FLAIR magnetic resonance.
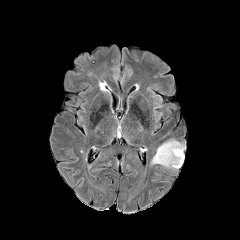
T1-weighted MRI.
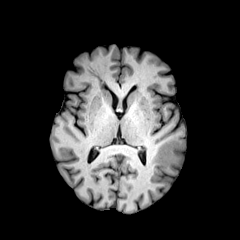
Post-contrast T1-weighted MR.
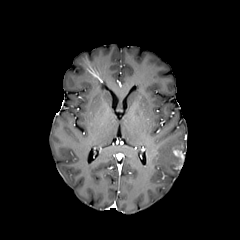
T2-weighted MR.
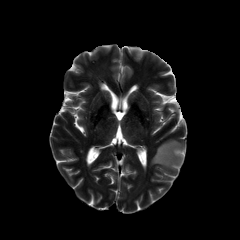
Brain, 240x240
Annotated regions:
* enhancing tumor: {"x1": 173, "y1": 148, "x2": 184, "y2": 168}
* peritumoral edema: {"x1": 151, "y1": 139, "x2": 185, "y2": 169}